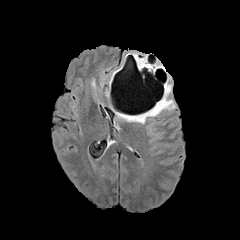
FLAIR MR image.
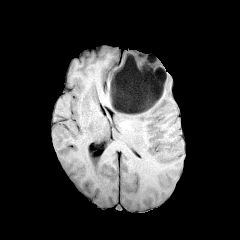
T1-weighted magnetic resonance.
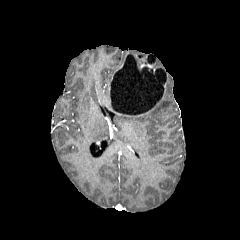
Same slice, post-contrast T1-weighted MR image.
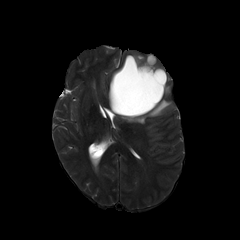
T2-weighted MRI.
Axial plane. Brain.
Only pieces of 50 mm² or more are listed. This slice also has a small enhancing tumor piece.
The necrotic tumor core is bounded by left=110, top=54, right=167, bottom=115. The peritumoral edema is located at left=122, top=85, right=174, bottom=123.